Head; Image size 240x240
FLAIR MR image.
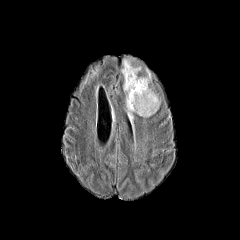
T1-weighted MR.
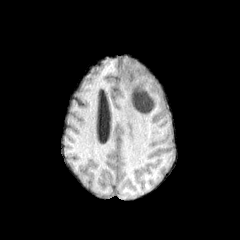
Post-contrast T1-weighted MRI.
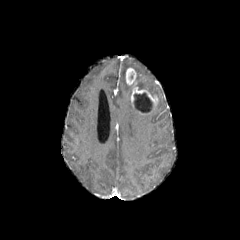
T2-weighted magnetic resonance.
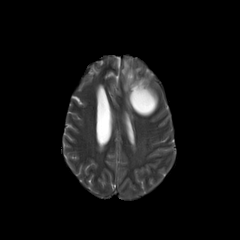
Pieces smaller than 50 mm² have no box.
The 3 largest peritumoral edema regions appear at box(122, 60, 132, 77); box(136, 78, 155, 96); box(123, 79, 136, 119). The largest necrotic tumor core region lies within box(134, 93, 152, 112). The enhancing tumor is bounded by box(125, 68, 157, 114).